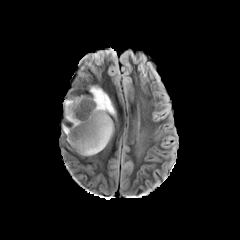
FLAIR MR.
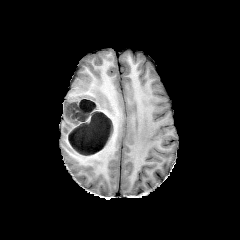
T1-weighted magnetic resonance of the same slice.
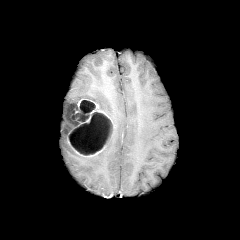
Post-contrast T1-weighted MR.
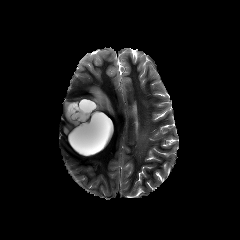
Same slice, T2-weighted MRI.
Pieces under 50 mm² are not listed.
enhancing tumor — {"x1": 82, "y1": 124, "x2": 113, "y2": 156}, {"x1": 62, "y1": 92, "x2": 112, "y2": 145}
peritumoral edema — {"x1": 90, "y1": 86, "x2": 115, "y2": 115}
necrotic tumor core — {"x1": 65, "y1": 97, "x2": 95, "y2": 125}, {"x1": 64, "y1": 112, "x2": 112, "y2": 155}, {"x1": 73, "y1": 112, "x2": 88, "y2": 121}